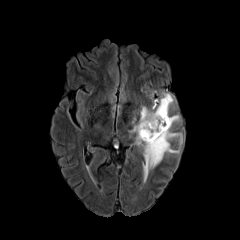
FLAIR MR.
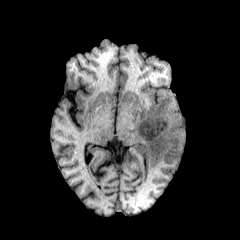
T1-weighted MR image.
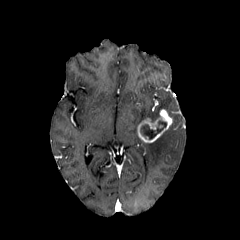
Post-contrast T1-weighted magnetic resonance.
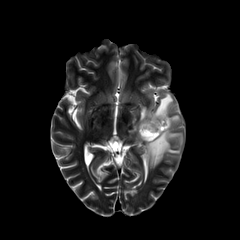
Same slice, T2-weighted MR image.
Image size 240x240 | Axial view
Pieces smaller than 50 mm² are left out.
enhancing tumor — box(137, 109, 172, 142)
peritumoral edema — box(142, 115, 182, 182); box(129, 92, 173, 133)
necrotic tumor core — box(141, 121, 166, 139)